FLAIR MR.
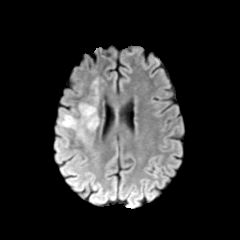
T1-weighted MR.
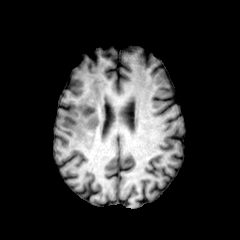
Post-contrast T1-weighted MRI.
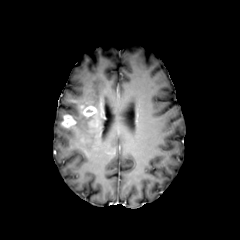
T2-weighted MR image.
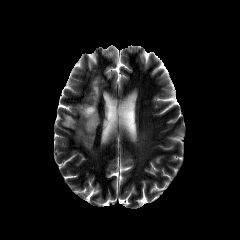
Axial plane
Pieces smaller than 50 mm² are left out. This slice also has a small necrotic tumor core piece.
2 enhancing tumor regions appear at rect(80, 105, 98, 126); rect(61, 114, 75, 127). The 2 largest peritumoral edema regions are located at rect(71, 121, 85, 141); rect(81, 113, 96, 131).